FLAIR MR image.
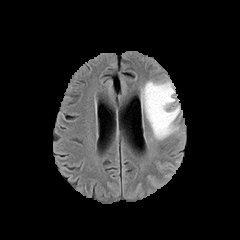
T1-weighted magnetic resonance.
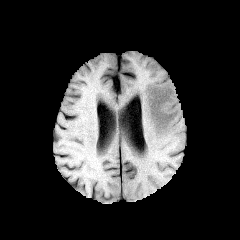
Post-contrast T1-weighted MR.
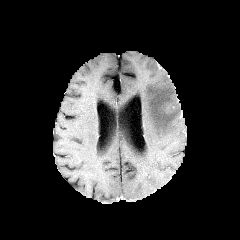
T2-weighted MR image.
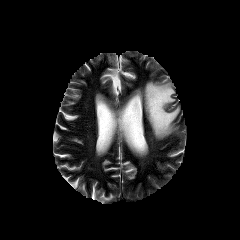
Brain.
peritumoral_edema:
  - x1=141, y1=80, x2=180, y2=139